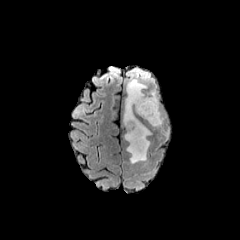
FLAIR MR image.
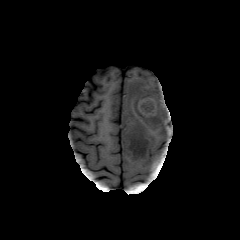
Same slice, T1-weighted magnetic resonance.
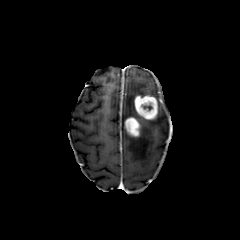
Same slice, post-contrast T1-weighted MRI.
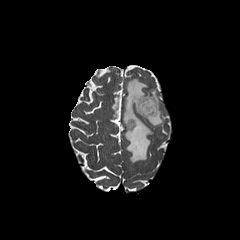
T2-weighted MR.
Brain; Axial view
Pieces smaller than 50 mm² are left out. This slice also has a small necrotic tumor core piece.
peritumoral_edema:
  - 147, 90, 163, 126
  - 123, 78, 151, 163
enhancing_tumor:
  - 125, 117, 140, 137
  - 134, 95, 157, 119